FLAIR MRI.
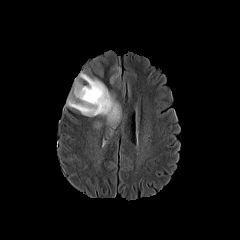
T1-weighted MR image.
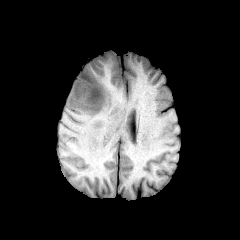
Post-contrast T1-weighted MRI.
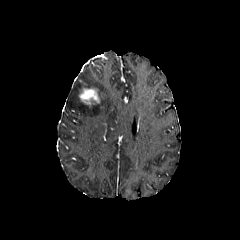
T2-weighted MR image.
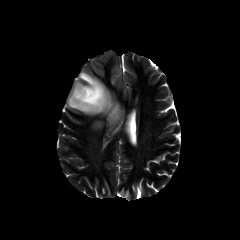
Brain.
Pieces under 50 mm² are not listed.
Annotated regions:
* peritumoral edema: (94, 121, 101, 128), (66, 51, 121, 128)
* enhancing tumor: (79, 88, 99, 106)